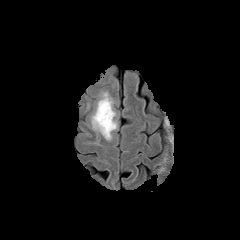
FLAIR MR image.
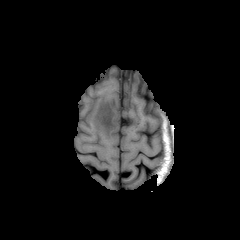
T1-weighted magnetic resonance.
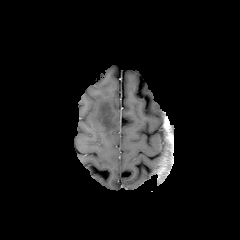
Post-contrast T1-weighted MR of the same slice.
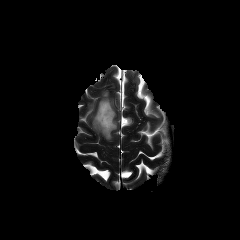
T2-weighted MRI of the same slice.
Axial plane
* peritumoral edema: bbox(91, 91, 118, 140)